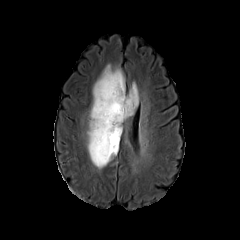
FLAIR MR.
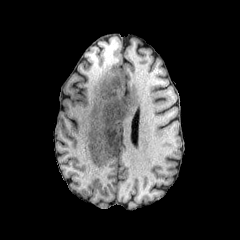
Same slice, T1-weighted magnetic resonance.
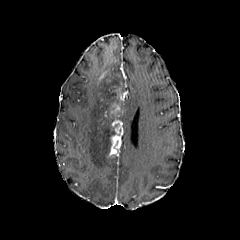
Same slice, post-contrast T1-weighted magnetic resonance.
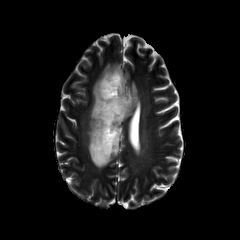
T2-weighted MRI.
Axial view
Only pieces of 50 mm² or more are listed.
Annotated regions:
* enhancing tumor: x1=108, y1=88, x2=124, y2=156
* peritumoral edema: x1=87, y1=64, x2=125, y2=168; x1=121, y1=82, x2=139, y2=121
* necrotic tumor core: x1=113, y1=82, x2=121, y2=98